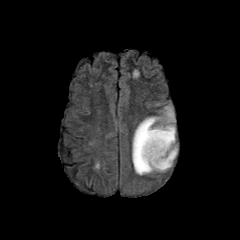
FLAIR MRI.
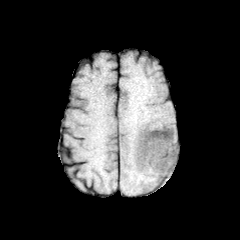
T1-weighted MRI of the same slice.
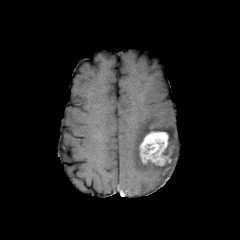
Same slice, post-contrast T1-weighted MR.
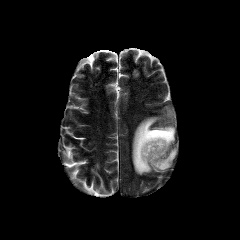
T2-weighted MR.
Image size 240x240; Brain
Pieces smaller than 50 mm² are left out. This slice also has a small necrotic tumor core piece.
The peritumoral edema is bounded by box(132, 106, 177, 175). The enhancing tumor is located at box(139, 131, 171, 166).